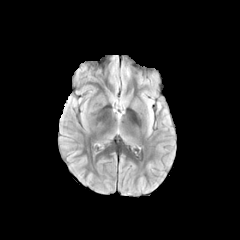
FLAIR MRI.
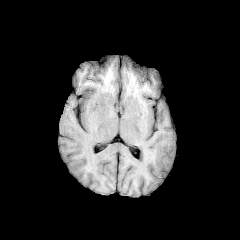
T1-weighted MRI of the same slice.
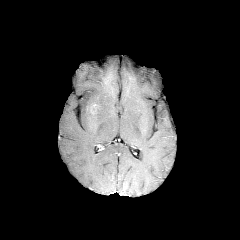
Post-contrast T1-weighted MR of the same slice.
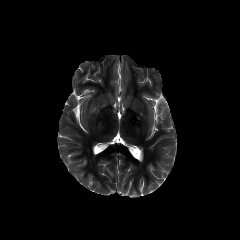
T2-weighted MRI.
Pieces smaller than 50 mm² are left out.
peritumoral edema — l=86, t=101, r=97, b=116
enhancing tumor — l=91, t=104, r=98, b=114